Axial plane. 240x240. Image width 240 mm, 1.00 mm slice spacing. Head.
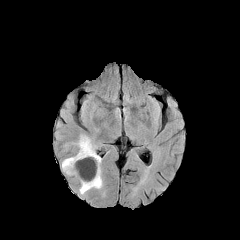
FLAIR MR.
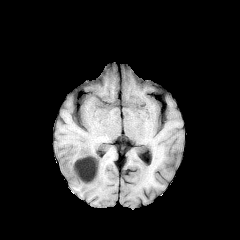
Same slice, T1-weighted MR.
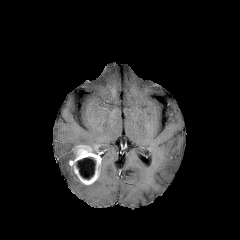
Post-contrast T1-weighted MR.
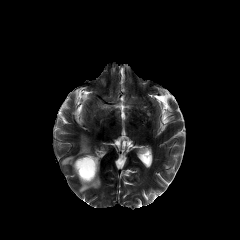
T2-weighted MR image.
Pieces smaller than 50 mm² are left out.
peritumoral edema = region(77, 135, 95, 153); region(79, 170, 102, 194); region(61, 154, 76, 176)
necrotic tumor core = region(76, 157, 95, 179)
enhancing tumor = region(69, 145, 101, 184)